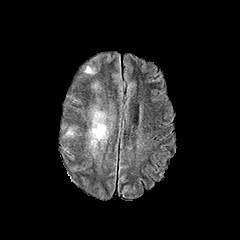
FLAIR MRI.
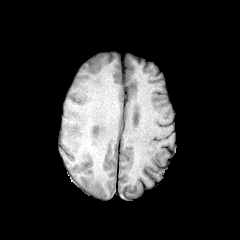
Same slice, T1-weighted MRI.
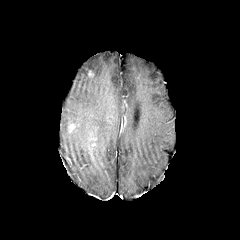
Same slice, post-contrast T1-weighted MRI.
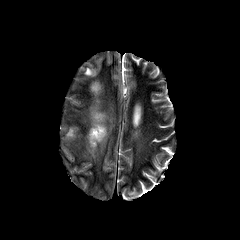
Same slice, T2-weighted MRI.
Head
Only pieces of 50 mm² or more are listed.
peritumoral edema — [x1=90, y1=111, x2=106, y2=145]